Axial slice | Slice 74/155 | Image size 240x240 | Image width 240 mm, 1.00 mm slice spacing | Head
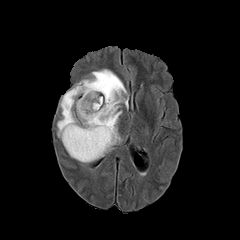
FLAIR MR.
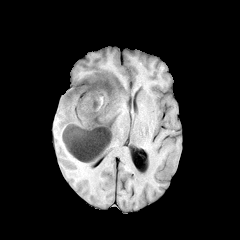
T1-weighted MR image.
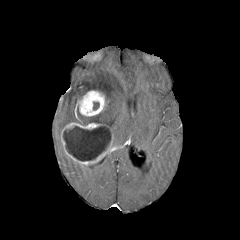
Post-contrast T1-weighted magnetic resonance of the same slice.
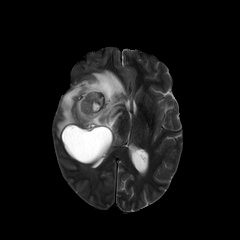
Same slice, T2-weighted MRI.
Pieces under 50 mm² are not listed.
The 2 largest enhancing tumor regions appear at [61,122,113,164], [76,90,106,116]. The peritumoral edema is at [57,69,128,145]. The largest necrotic tumor core region is at [63,126,110,161].